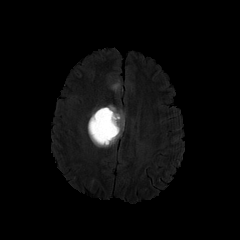
FLAIR MR.
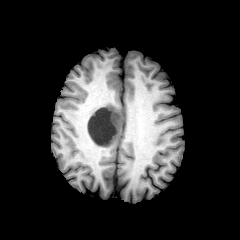
T1-weighted MR.
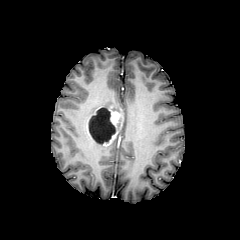
Post-contrast T1-weighted magnetic resonance.
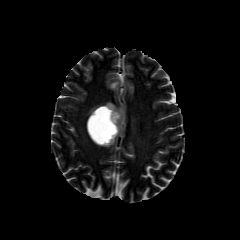
T2-weighted MR.
Axial view
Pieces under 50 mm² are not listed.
The necrotic tumor core is located at rect(88, 108, 115, 144). The largest enhancing tumor region is located at rect(100, 106, 123, 146). The largest peritumoral edema region is bounded by rect(101, 104, 124, 146).